Slice 103 of 155 | Image size 240x240 | Head
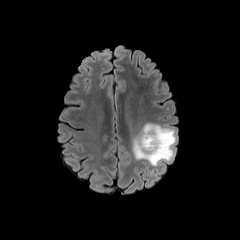
FLAIR MR.
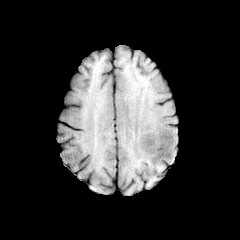
Same slice, T1-weighted MR.
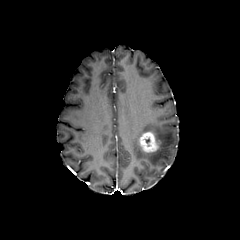
Same slice, post-contrast T1-weighted MR image.
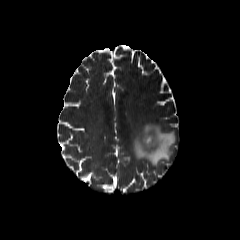
Same slice, T2-weighted magnetic resonance.
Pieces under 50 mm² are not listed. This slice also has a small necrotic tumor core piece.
enhancing tumor: bounding box rect(139, 132, 159, 153)
peritumoral edema: bounding box rect(132, 123, 176, 166)